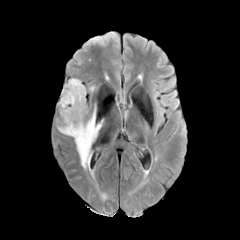
FLAIR MRI.
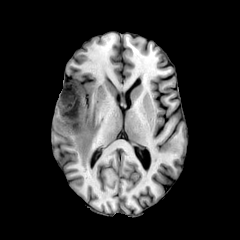
T1-weighted magnetic resonance.
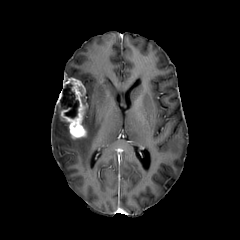
Same slice, post-contrast T1-weighted MR.
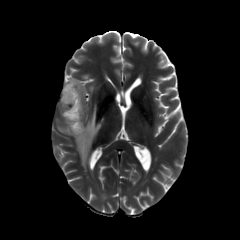
T2-weighted magnetic resonance.
Image size 240x240.
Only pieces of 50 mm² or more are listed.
necrotic tumor core at {"x1": 58, "y1": 83, "x2": 79, "y2": 118}
enhancing tumor at {"x1": 60, "y1": 78, "x2": 86, "y2": 138}
peritumoral edema at {"x1": 75, "y1": 105, "x2": 103, "y2": 169}, {"x1": 57, "y1": 121, "x2": 70, "y2": 135}